FLAIR MR image.
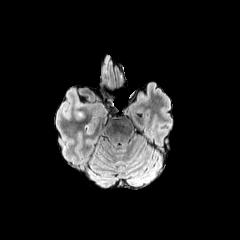
T1-weighted magnetic resonance.
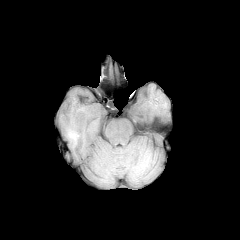
Post-contrast T1-weighted MR.
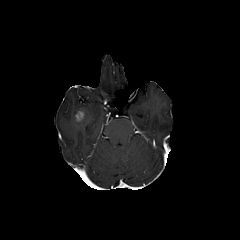
T2-weighted MR image.
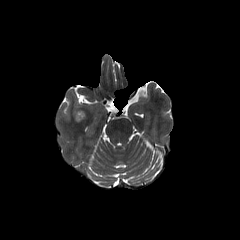
Brain; Axial plane
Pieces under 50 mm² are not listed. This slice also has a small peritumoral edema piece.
{"enhancing_tumor": ["x1=75, y1=111, x2=85, y2=121"]}